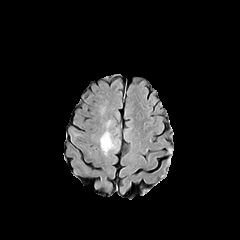
FLAIR MR image.
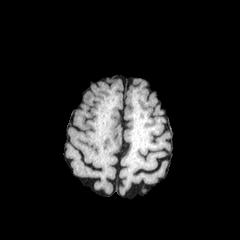
Same slice, T1-weighted MRI.
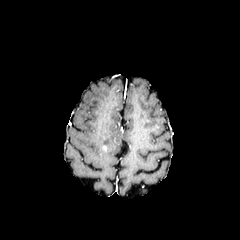
Post-contrast T1-weighted magnetic resonance of the same slice.
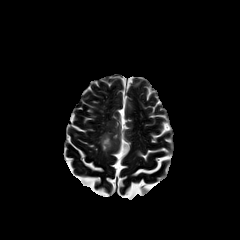
T2-weighted MR image.
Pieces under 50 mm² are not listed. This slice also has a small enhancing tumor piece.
The largest peritumoral edema region is bounded by {"x1": 100, "y1": 131, "x2": 116, "y2": 155}.